240x240 px; Slice 100 of 155; Axial view
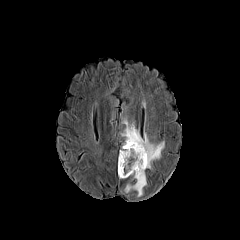
FLAIR magnetic resonance.
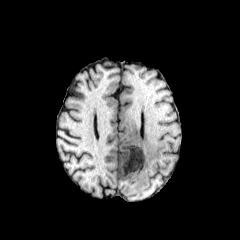
T1-weighted MR of the same slice.
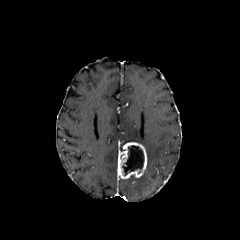
Post-contrast T1-weighted MR.
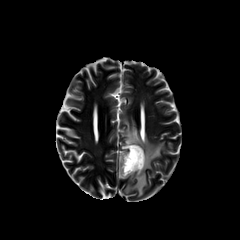
T2-weighted MR image of the same slice.
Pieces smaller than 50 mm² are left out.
necrotic tumor core: bbox=[122, 145, 144, 175]
enhancing tumor: bbox=[118, 142, 147, 178]
peritumoral edema: bbox=[122, 118, 164, 169]; bbox=[124, 172, 146, 196]